Image width 240 mm, 1.00 mm slice spacing; Axial view; Head
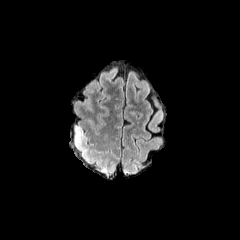
FLAIR MR.
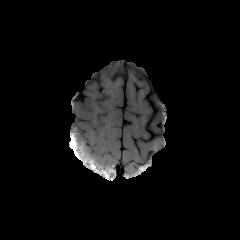
T1-weighted MRI.
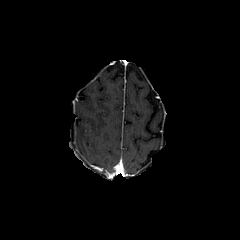
Post-contrast T1-weighted MR.
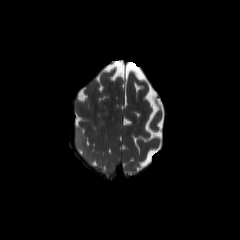
T2-weighted MRI.
peritumoral edema — [x1=75, y1=125, x2=88, y2=160]